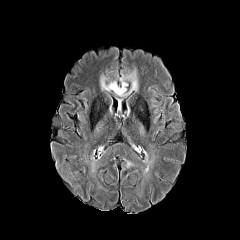
FLAIR MR image.
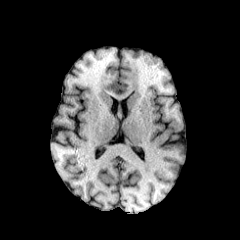
T1-weighted MR image of the same slice.
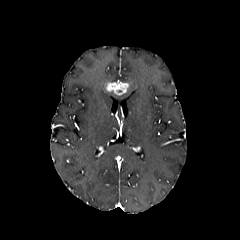
Post-contrast T1-weighted magnetic resonance of the same slice.
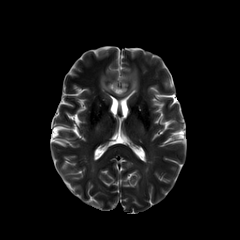
T2-weighted magnetic resonance.
Brain
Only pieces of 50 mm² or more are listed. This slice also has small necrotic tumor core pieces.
enhancing tumor at 105 82 128 95
peritumoral edema at 120 69 138 96, 100 75 110 90